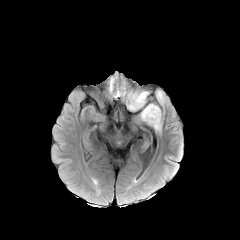
FLAIR MR.
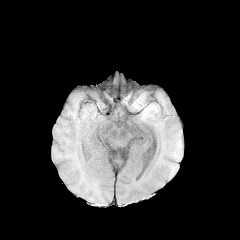
T1-weighted magnetic resonance.
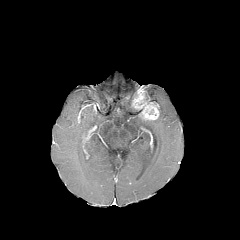
Post-contrast T1-weighted MR of the same slice.
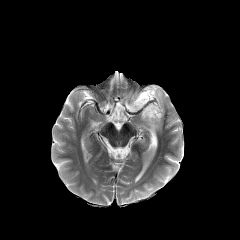
T2-weighted MR.
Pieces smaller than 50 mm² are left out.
peritumoral edema: region(156, 90, 164, 105); region(141, 107, 161, 130); region(126, 92, 136, 111) | enhancing tumor: region(132, 89, 159, 120)